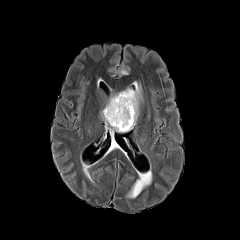
FLAIR MR image.
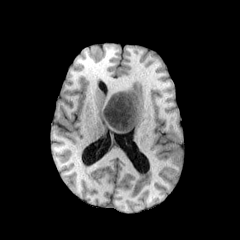
T1-weighted MR image of the same slice.
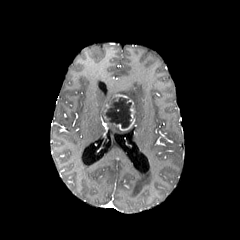
Post-contrast T1-weighted MR image.
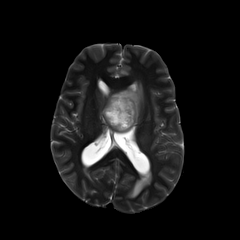
T2-weighted MR image.
Brain; Image size 240x240
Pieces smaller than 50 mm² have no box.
The 2 largest peritumoral edema regions appear at (x1=119, y1=82, x2=142, y2=128), (x1=107, y1=123, x2=127, y2=136). The largest necrotic tumor core region is located at (x1=104, y1=97, x2=131, y2=128). The 2 largest enhancing tumor regions are bounded by (x1=113, y1=99, x2=135, y2=130), (x1=114, y1=94, x2=128, y2=101).